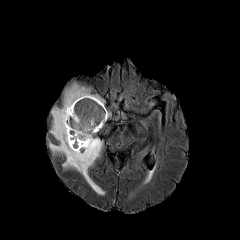
FLAIR magnetic resonance.
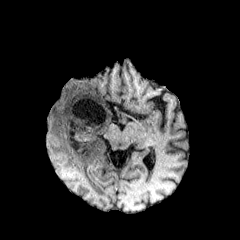
T1-weighted MRI.
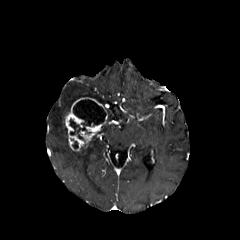
Post-contrast T1-weighted magnetic resonance.
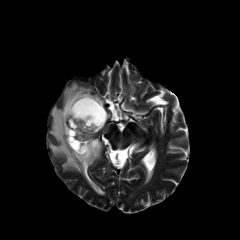
Same slice, T2-weighted MR image.
Axial slice. 240x240. Head.
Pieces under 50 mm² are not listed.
Annotated regions:
• enhancing tumor: region(64, 97, 107, 151)
• necrotic tumor core: region(70, 99, 106, 139)
• peritumoral edema: region(49, 82, 104, 195)